FLAIR MRI.
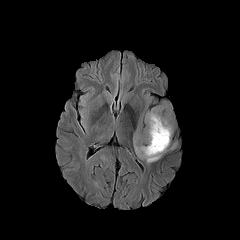
T1-weighted MRI.
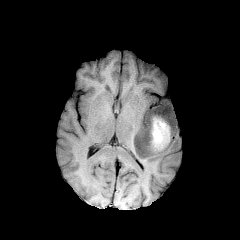
Post-contrast T1-weighted MR.
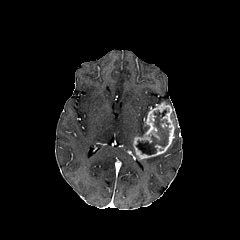
T2-weighted MRI.
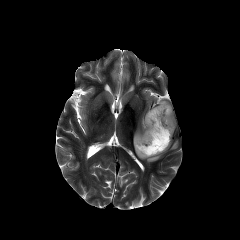
Axial plane, 240x240
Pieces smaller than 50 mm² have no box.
<segmentation>
  <necrotic_tumor_core>box(136, 110, 168, 154)</necrotic_tumor_core>
  <enhancing_tumor>box(133, 101, 175, 158)</enhancing_tumor>
  <peritumoral_edema>box(141, 154, 162, 162)</peritumoral_edema>
</segmentation>